FLAIR MR image.
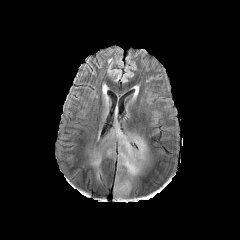
T1-weighted MR image.
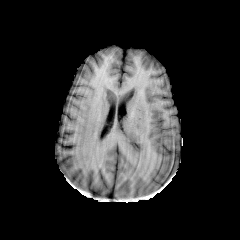
Post-contrast T1-weighted MR image.
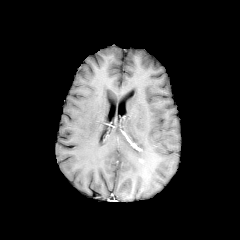
T2-weighted MR.
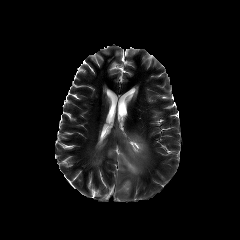
Axial plane. Head.
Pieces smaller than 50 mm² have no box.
Annotated regions:
* peritumoral edema: bbox=[121, 182, 129, 189]; bbox=[113, 127, 146, 175]